Slice index 107. 240x240 px. Image width 240 mm, 1.00 mm slice spacing.
FLAIR MRI.
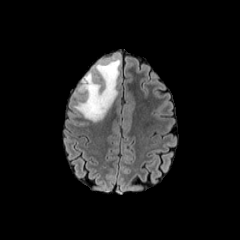
T1-weighted MRI.
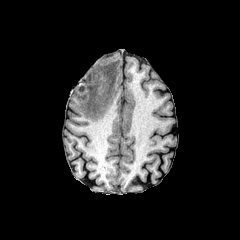
Post-contrast T1-weighted MRI.
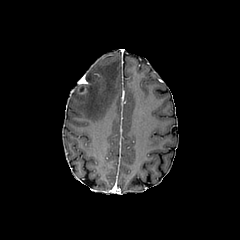
T2-weighted MRI.
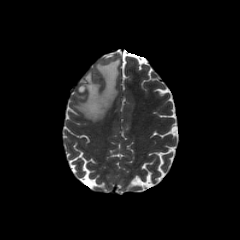
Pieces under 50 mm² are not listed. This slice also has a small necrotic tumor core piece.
The enhancing tumor is bounded by [x1=77, y1=75, x2=88, y2=94]. The peritumoral edema is bounded by [x1=74, y1=56, x2=120, y2=121].